Brain; Image size 240x240
FLAIR MR image.
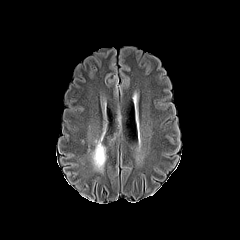
T1-weighted MRI.
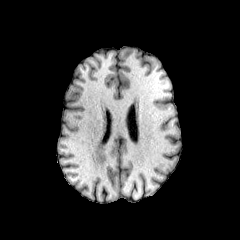
Post-contrast T1-weighted MR.
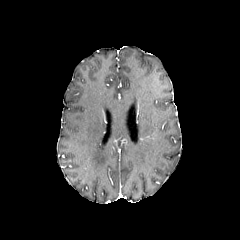
T2-weighted magnetic resonance.
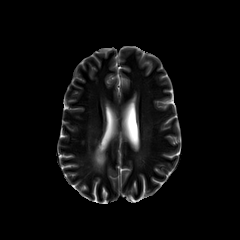
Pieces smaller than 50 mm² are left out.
Segmented structures:
* peritumoral edema: 92 141 106 170